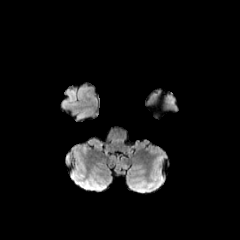
FLAIR MR.
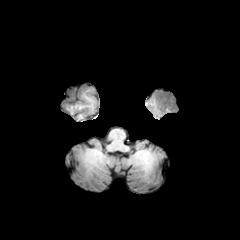
T1-weighted MR of the same slice.
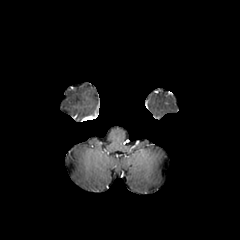
Post-contrast T1-weighted magnetic resonance of the same slice.
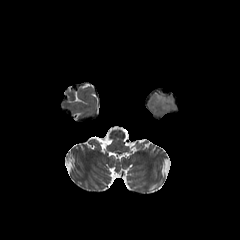
Same slice, T2-weighted magnetic resonance.
Head. Axial slice.
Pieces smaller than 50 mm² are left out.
The largest peritumoral edema region is located at bbox(166, 96, 173, 107).